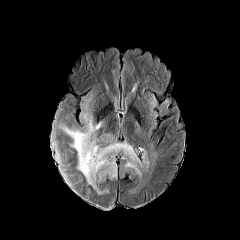
FLAIR MR.
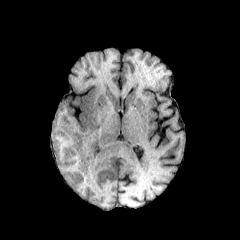
T1-weighted MR image.
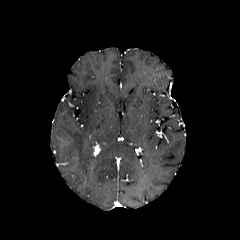
Post-contrast T1-weighted MR.
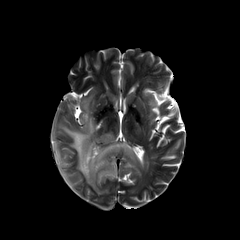
Same slice, T2-weighted MRI.
Head; Axial slice
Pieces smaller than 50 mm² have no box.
enhancing tumor — x1=93 y1=145 x2=100 y2=155
peritumoral edema — x1=55 y1=144 x2=73 y2=165, x1=103 y1=134 x2=112 y2=140, x1=61 y1=101 x2=140 y2=193